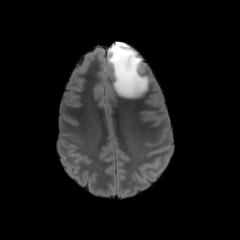
FLAIR magnetic resonance.
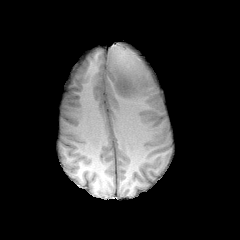
T1-weighted MRI of the same slice.
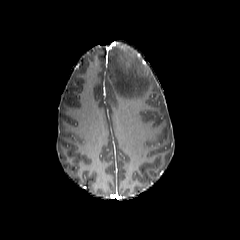
Same slice, post-contrast T1-weighted magnetic resonance.
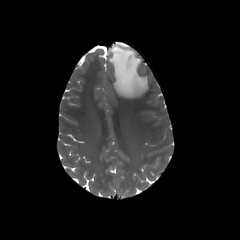
T2-weighted magnetic resonance.
Axial plane
Annotated regions:
* peritumoral edema: <box>108,42,149,98</box>